Axial slice, Slice 79/155, 240x240, Brain
FLAIR magnetic resonance.
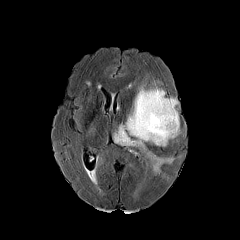
T1-weighted magnetic resonance.
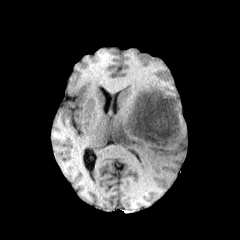
Post-contrast T1-weighted MRI.
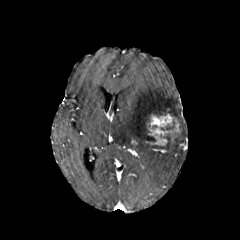
T2-weighted MRI.
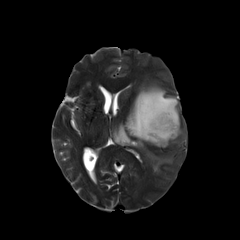
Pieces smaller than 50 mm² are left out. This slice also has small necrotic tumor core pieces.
{
  "enhancing_tumor": [
    "x1=146 y1=112 x2=180 y2=145"
  ],
  "peritumoral_edema": [
    "x1=113 y1=82 x2=181 y2=179"
  ]
}